Slice index 113, 240x240 px, Image width 240 mm
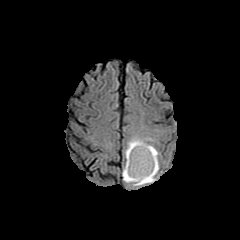
FLAIR MR.
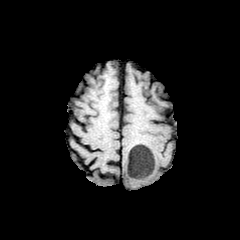
Same slice, T1-weighted MR.
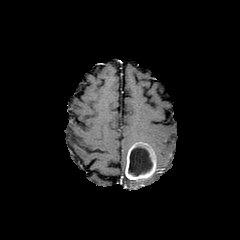
Post-contrast T1-weighted MRI of the same slice.
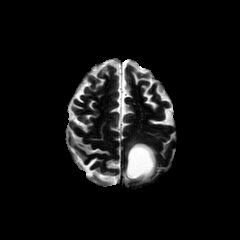
T2-weighted MR image.
Annotated regions:
- peritumoral edema: 122:144:159:186, 124:136:152:163
- enhancing tumor: 125:142:156:181
- necrotic tumor core: 128:147:152:175